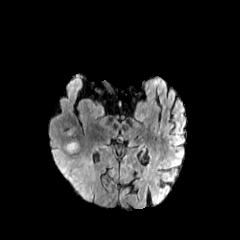
FLAIR magnetic resonance.
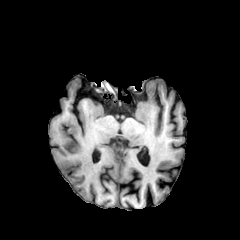
T1-weighted MR.
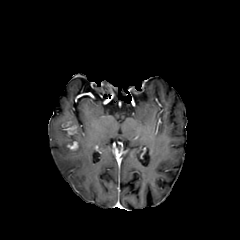
Post-contrast T1-weighted magnetic resonance.
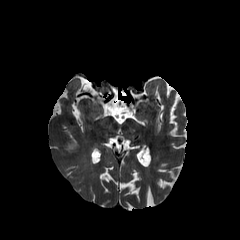
T2-weighted magnetic resonance.
Axial slice
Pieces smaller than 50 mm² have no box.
Segmented structures:
• enhancing tumor: region(67, 141, 78, 151); region(63, 119, 76, 135)
• peritumoral edema: region(49, 125, 94, 200)